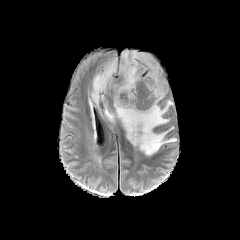
FLAIR magnetic resonance.
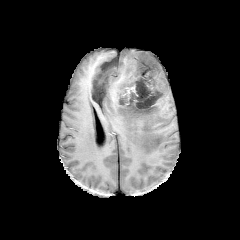
T1-weighted MRI.
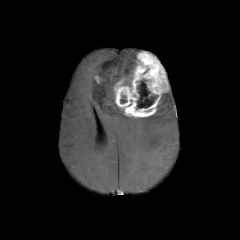
Post-contrast T1-weighted magnetic resonance.
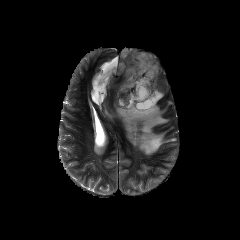
Same slice, T2-weighted MR image.
Head; Image size 240x240
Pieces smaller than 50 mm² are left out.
enhancing tumor = left=94, top=75, right=102, bottom=83; left=113, top=51, right=168, bottom=117
necrotic tumor core = left=137, top=80, right=157, bottom=108
peritumoral edema = left=91, top=48, right=176, bottom=155